FLAIR MR.
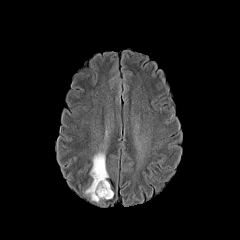
T1-weighted MRI.
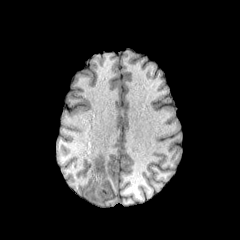
Post-contrast T1-weighted magnetic resonance.
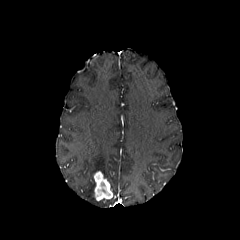
T2-weighted MR image.
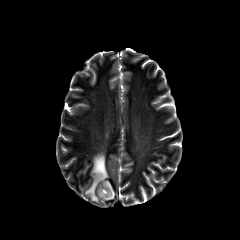
240x240
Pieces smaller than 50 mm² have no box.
Annotated regions:
- peritumoral edema: 84 151 108 202
- enhancing tumor: 94 171 112 200
- necrotic tumor core: 97 181 111 198